FLAIR MR.
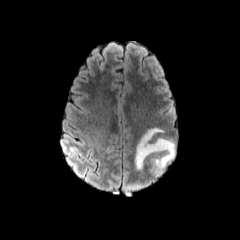
T1-weighted MR image.
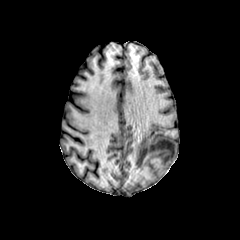
Post-contrast T1-weighted MR.
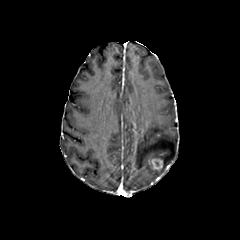
T2-weighted MR.
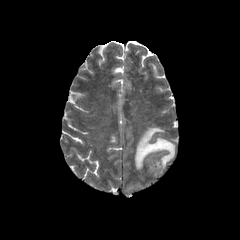
Brain
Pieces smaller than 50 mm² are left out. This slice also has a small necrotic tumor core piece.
peritumoral edema: <bbox>135, 128, 175, 176</bbox> | enhancing tumor: <bbox>148, 155, 164, 172</bbox>